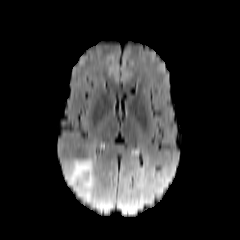
FLAIR MR.
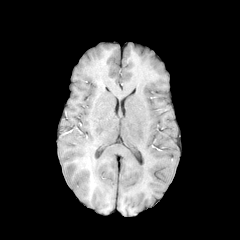
Same slice, T1-weighted MR image.
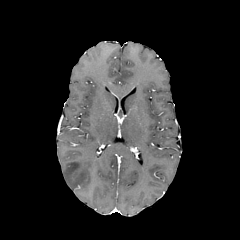
Post-contrast T1-weighted MRI.
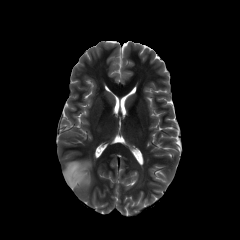
T2-weighted MR.
240x240 | Brain
peritumoral edema: bounding box bbox(64, 158, 93, 200)